240x240, Brain, Axial slice
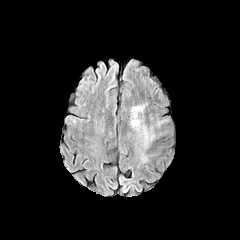
FLAIR MR.
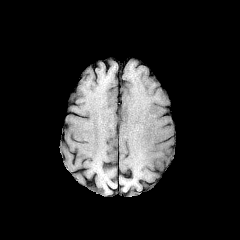
T1-weighted MR image of the same slice.
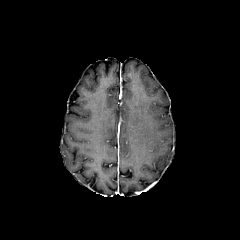
Same slice, post-contrast T1-weighted MRI.
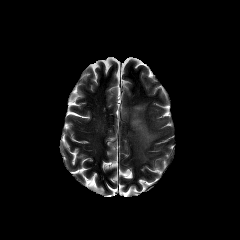
T2-weighted MR image of the same slice.
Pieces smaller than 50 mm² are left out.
peritumoral edema: bounding box 130, 104, 155, 148